Image covers 240 mm x 240 mm; Brain
FLAIR magnetic resonance.
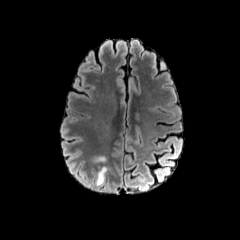
T1-weighted MRI.
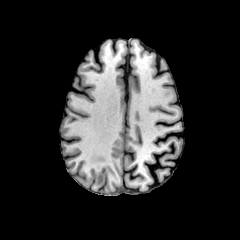
Post-contrast T1-weighted MRI.
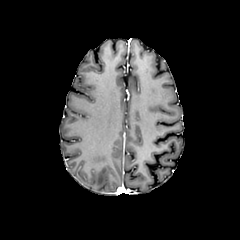
T2-weighted magnetic resonance.
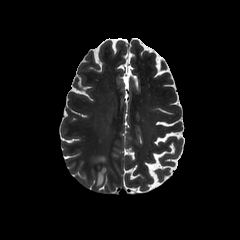
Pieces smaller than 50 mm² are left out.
{"peritumoral_edema": ["rect(96, 167, 106, 185)"]}